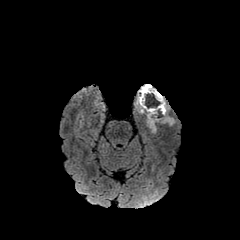
FLAIR MRI.
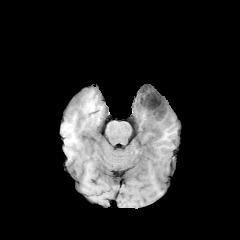
T1-weighted MRI.
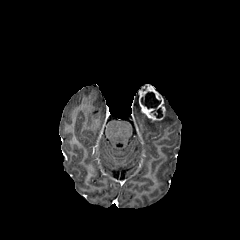
Same slice, post-contrast T1-weighted MR image.
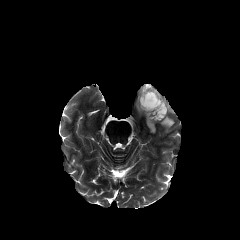
T2-weighted MRI.
Brain
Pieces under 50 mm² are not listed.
The largest enhancing tumor region is located at rect(138, 84, 165, 121). 2 peritumoral edema regions appear at rect(146, 96, 174, 133); rect(134, 94, 142, 113). The necrotic tumor core appears at rect(145, 93, 162, 118).